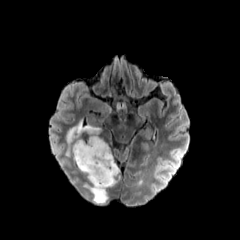
FLAIR MR image.
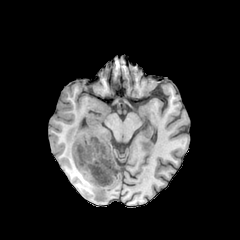
T1-weighted MR image.
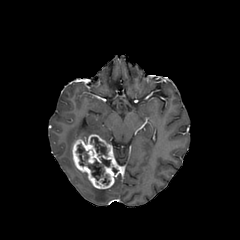
Same slice, post-contrast T1-weighted MRI.
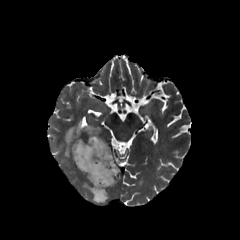
T2-weighted MR.
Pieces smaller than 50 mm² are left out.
<segmentation>
  <necrotic_tumor_core>rect(90, 137, 106, 155); rect(87, 159, 104, 180); rect(76, 143, 88, 165); rect(100, 157, 110, 166)</necrotic_tumor_core>
  <peritumoral_edema>rect(65, 121, 101, 156); rect(83, 182, 108, 203)</peritumoral_edema>
  <enhancing_tumor>rect(72, 134, 120, 189)</enhancing_tumor>
</segmentation>